Image width 240 mm, 1.00 mm slice spacing; Head; Axial slice
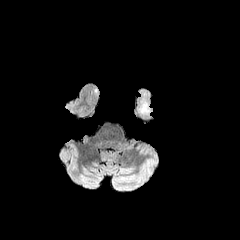
FLAIR magnetic resonance.
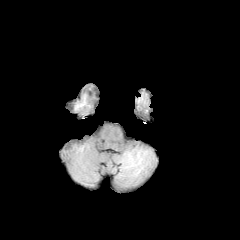
Same slice, T1-weighted MR.
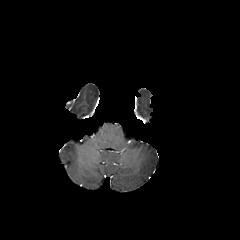
Post-contrast T1-weighted MR image.
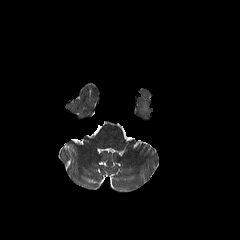
T2-weighted MRI of the same slice.
peritumoral edema: bounding box <bbox>140, 103, 149, 112</bbox>